FLAIR magnetic resonance.
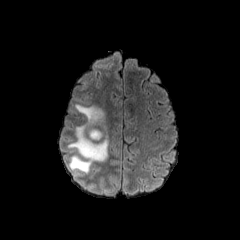
T1-weighted magnetic resonance.
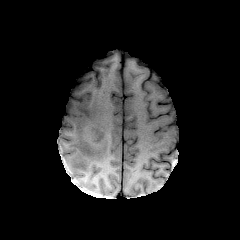
Post-contrast T1-weighted MR.
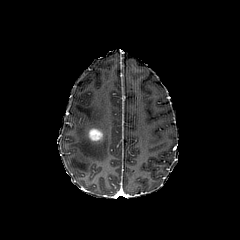
T2-weighted magnetic resonance.
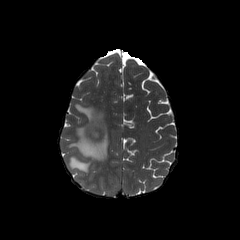
240x240; Head; Axial plane
Segmented structures:
• enhancing tumor: [88,127,103,141]
• peritumoral edema: [68,104,110,173]